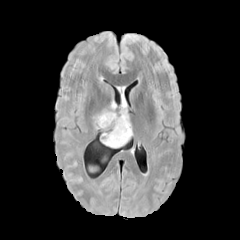
FLAIR MR.
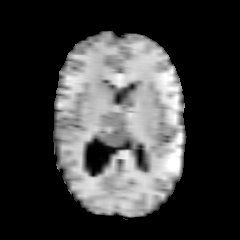
T1-weighted magnetic resonance.
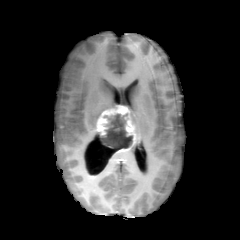
Post-contrast T1-weighted MR image of the same slice.
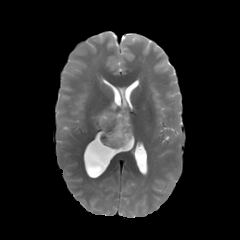
T2-weighted magnetic resonance of the same slice.
Axial plane | 240x240 px
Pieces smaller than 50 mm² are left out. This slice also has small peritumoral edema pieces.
Segmented structures:
• necrotic tumor core: [101,114,132,150]
• enhancing tumor: [96,105,136,142]